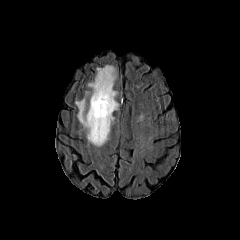
FLAIR MR.
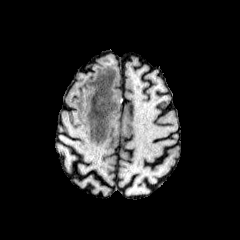
T1-weighted MRI.
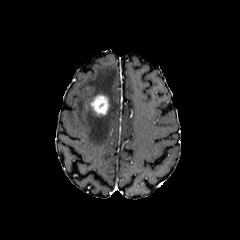
Post-contrast T1-weighted MR image of the same slice.
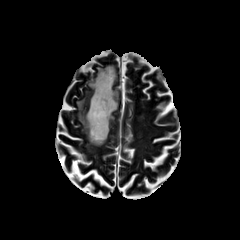
T2-weighted MR image of the same slice.
Head.
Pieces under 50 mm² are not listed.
* peritumoral edema: region(75, 65, 118, 146)
* enhancing tumor: region(90, 94, 109, 115)